Axial slice
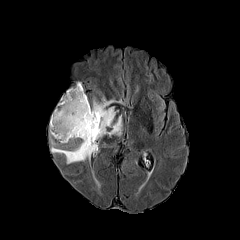
FLAIR magnetic resonance.
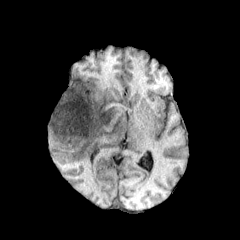
Same slice, T1-weighted MR image.
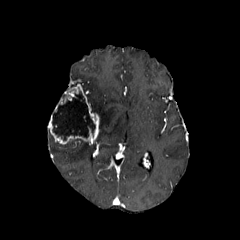
Post-contrast T1-weighted MR of the same slice.
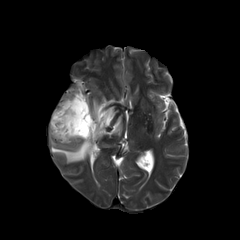
T2-weighted MR.
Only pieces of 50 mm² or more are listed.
necrotic tumor core = <bbox>52, 91, 95, 140</bbox>
enhancing tumor = <bbox>48, 83, 99, 145</bbox>
peritumoral edema = <bbox>91, 97, 122, 140</bbox>, <bbox>50, 134, 96, 163</bbox>